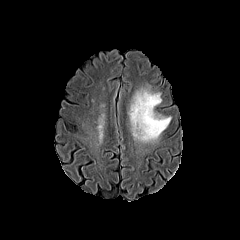
FLAIR magnetic resonance.
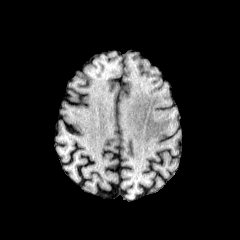
Same slice, T1-weighted MR.
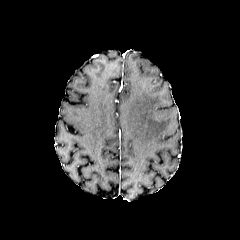
Post-contrast T1-weighted MR image of the same slice.
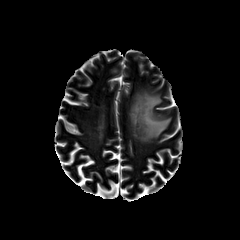
T2-weighted MR.
Image size 240x240
{
  "peritumoral_edema": [
    "(left=128, top=89, right=171, bottom=142)"
  ]
}